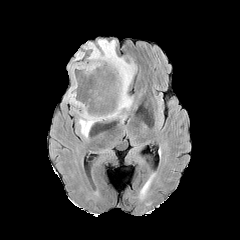
FLAIR MRI.
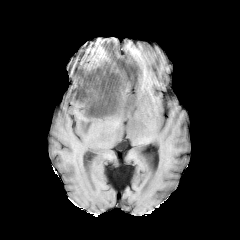
T1-weighted MR of the same slice.
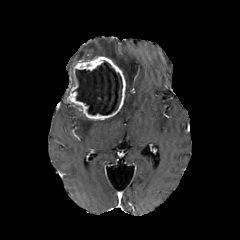
Post-contrast T1-weighted magnetic resonance.
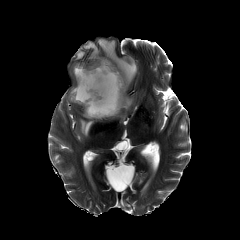
Same slice, T2-weighted MRI.
Axial plane
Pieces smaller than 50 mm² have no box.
* peritumoral edema: {"x1": 78, "y1": 112, "x2": 100, "y2": 137}, {"x1": 83, "y1": 39, "x2": 136, "y2": 121}, {"x1": 74, "y1": 51, "x2": 84, "y2": 60}
* necrotic tumor core: {"x1": 75, "y1": 61, "x2": 122, "y2": 114}
* enhancing tumor: {"x1": 64, "y1": 56, "x2": 125, "y2": 120}